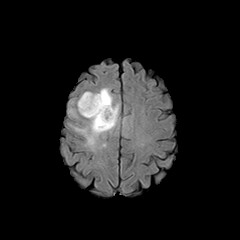
FLAIR MR.
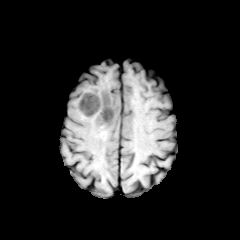
Same slice, T1-weighted magnetic resonance.
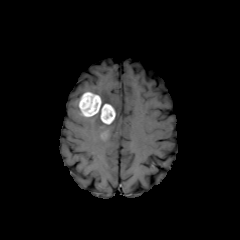
Post-contrast T1-weighted MRI of the same slice.
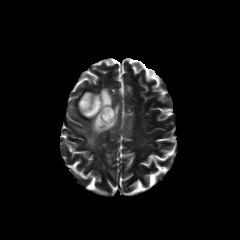
Same slice, T2-weighted MRI.
240x240; Brain
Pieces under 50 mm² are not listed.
necrotic tumor core: [104,108,112,120] | peritumoral edema: [74,87,119,148] | enhancing tumor: [78,92,115,124]